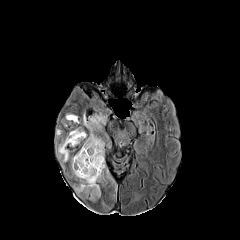
FLAIR magnetic resonance.
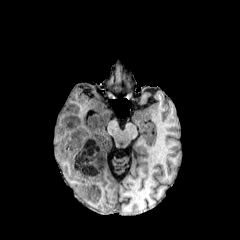
T1-weighted MR image.
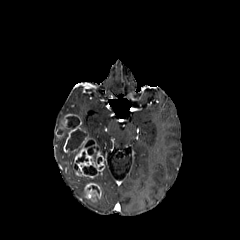
Same slice, post-contrast T1-weighted MRI.
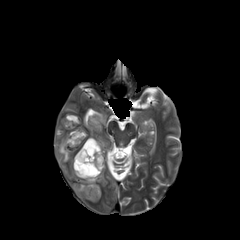
T2-weighted MRI.
Image size 240x240; Brain
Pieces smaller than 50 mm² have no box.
The 3 largest enhancing tumor regions appear at {"x1": 83, "y1": 183, "x2": 101, "y2": 201}, {"x1": 74, "y1": 136, "x2": 105, "y2": 178}, {"x1": 55, "y1": 114, "x2": 85, "y2": 152}. The 6 largest necrotic tumor core regions are bounded by {"x1": 85, "y1": 140, "x2": 94, "y2": 147}, {"x1": 87, "y1": 146, "x2": 99, "y2": 154}, {"x1": 76, "y1": 152, "x2": 88, "y2": 162}, {"x1": 83, "y1": 166, "x2": 97, "y2": 175}, {"x1": 66, "y1": 129, "x2": 86, "y2": 153}, {"x1": 66, "y1": 116, "x2": 79, "y2": 128}. The 3 largest peritumoral edema regions are bounded by {"x1": 83, "y1": 112, "x2": 106, "y2": 156}, {"x1": 56, "y1": 137, "x2": 103, "y2": 194}, {"x1": 107, "y1": 171, "x2": 116, "y2": 191}.